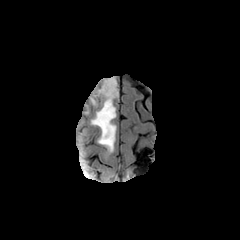
FLAIR MR.
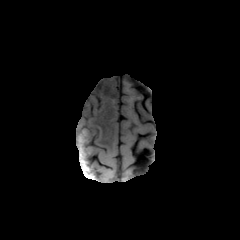
Same slice, T1-weighted MR image.
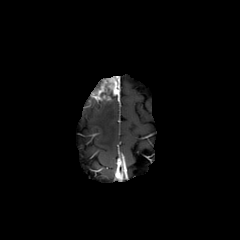
Same slice, post-contrast T1-weighted MRI.
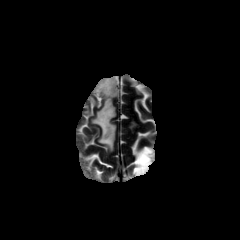
T2-weighted magnetic resonance of the same slice.
240x240 px
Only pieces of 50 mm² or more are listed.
enhancing_tumor:
  - [90,76,119,103]
peritumoral_edema:
  - [90,97,116,155]